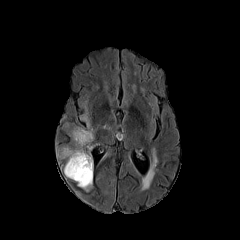
FLAIR MR image.
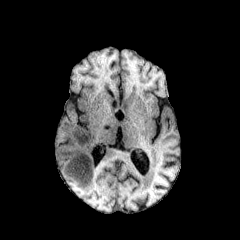
T1-weighted magnetic resonance.
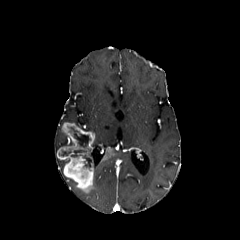
Post-contrast T1-weighted magnetic resonance.
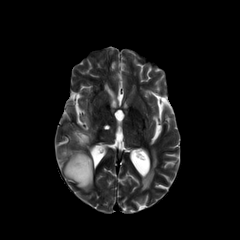
T2-weighted MR image.
Axial view, Head, Image size 240x240
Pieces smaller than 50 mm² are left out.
The largest peritumoral edema region is located at l=79, t=114, r=93, b=132. The 4 largest necrotic tumor core regions are bounded by l=71, t=149, r=85, b=157; l=71, t=127, r=90, b=147; l=59, t=150, r=71, b=156; l=83, t=155, r=92, b=167. The 2 largest enhancing tumor regions appear at l=102, t=150, r=115, b=162; l=57, t=122, r=95, b=193.